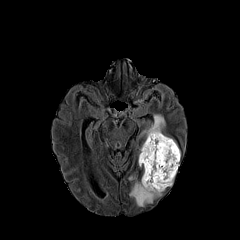
FLAIR MR.
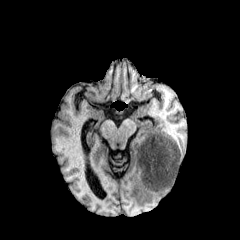
T1-weighted MR of the same slice.
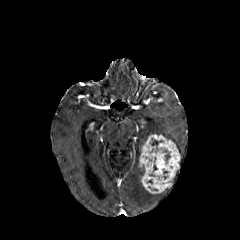
Post-contrast T1-weighted MR of the same slice.
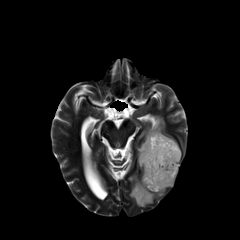
T2-weighted magnetic resonance of the same slice.
240x240 px
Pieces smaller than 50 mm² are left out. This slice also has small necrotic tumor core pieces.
enhancing tumor: bounding box box(139, 134, 180, 193)
peritumoral edema: bounding box box(139, 114, 178, 148); box(129, 175, 163, 206)